240x240 px | Image width 240 mm | Slice 46/155 | Head
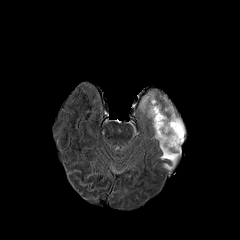
FLAIR MR image.
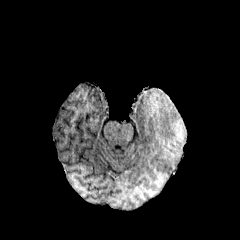
T1-weighted magnetic resonance.
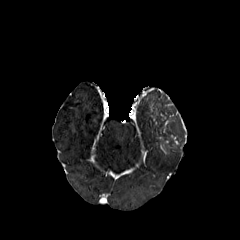
Same slice, post-contrast T1-weighted MR image.
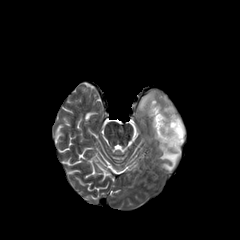
T2-weighted magnetic resonance.
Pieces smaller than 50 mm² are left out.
peritumoral edema at [160, 145, 181, 170], [151, 96, 160, 112], [140, 98, 146, 109]
enhancing tumor at [160, 140, 168, 154]
necrotic tumor core at [150, 105, 184, 150]